Brain; Axial view
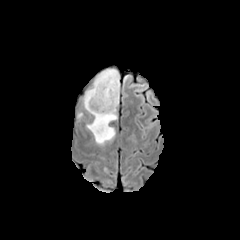
FLAIR MRI.
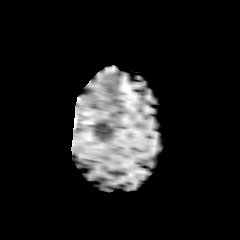
Same slice, T1-weighted MR image.
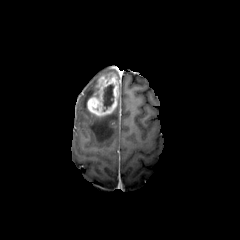
Post-contrast T1-weighted MR.
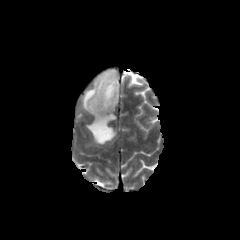
T2-weighted MR of the same slice.
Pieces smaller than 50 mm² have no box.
The enhancing tumor lies within (x1=87, y1=73, x2=119, y2=116). The 2 largest peritumoral edema regions appear at (x1=84, y1=69, x2=116, y2=109), (x1=87, y1=112, x2=116, y2=144). The largest necrotic tumor core region lies within (x1=103, y1=84, x2=113, y2=109).